Head, Image width 240 mm
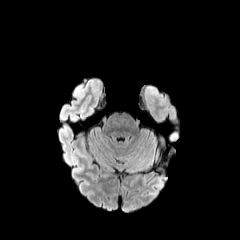
FLAIR magnetic resonance.
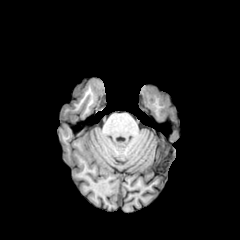
T1-weighted magnetic resonance of the same slice.
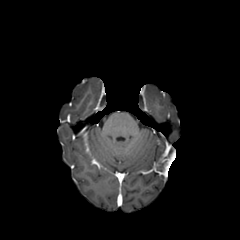
Post-contrast T1-weighted magnetic resonance.
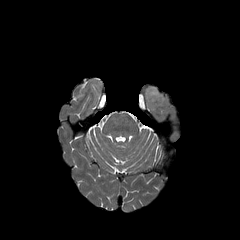
T2-weighted MRI.
peritumoral edema: bounding box (146,86,157,94)